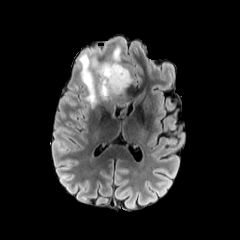
FLAIR MR image.
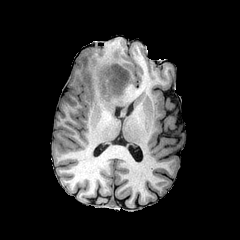
T1-weighted MR image of the same slice.
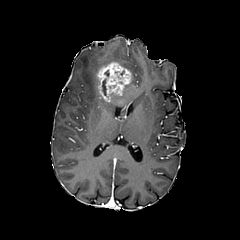
Same slice, post-contrast T1-weighted MR.
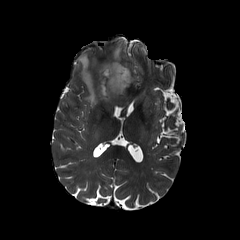
T2-weighted MR.
240x240 px | Brain
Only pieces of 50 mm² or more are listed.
{
  "enhancing_tumor": [
    "<box>96,62,131,102</box>"
  ],
  "necrotic_tumor_core": [
    "<box>108,79,123,88</box>",
    "<box>102,79,119,99</box>"
  ],
  "peritumoral_edema": [
    "<box>79,53,99,108</box>",
    "<box>96,47,122,73</box>"
  ]
}